Axial slice, 240x240, Image width 240 mm, 1.00 mm slice spacing
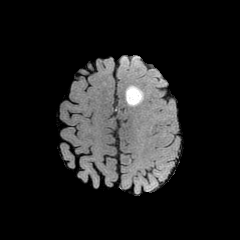
FLAIR MR.
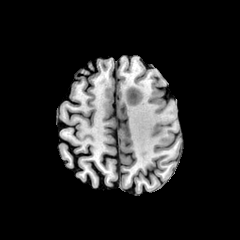
Same slice, T1-weighted magnetic resonance.
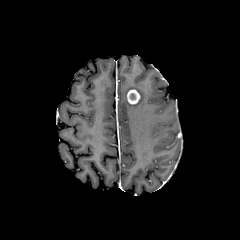
Post-contrast T1-weighted MR.
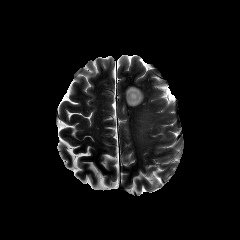
T2-weighted MR image.
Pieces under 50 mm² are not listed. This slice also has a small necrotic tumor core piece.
The peritumoral edema is at x1=125, y1=86, x2=143, y2=106. The enhancing tumor lies within x1=127, y1=89, x2=140, y2=104.